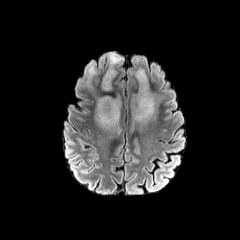
FLAIR MR.
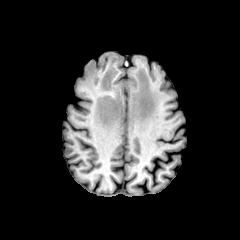
T1-weighted magnetic resonance.
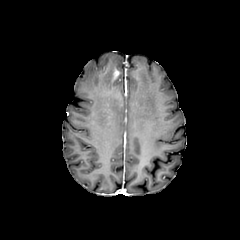
Post-contrast T1-weighted MR.
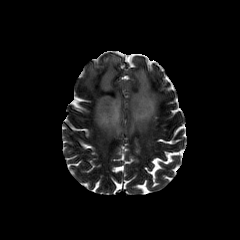
Same slice, T2-weighted magnetic resonance.
Axial view.
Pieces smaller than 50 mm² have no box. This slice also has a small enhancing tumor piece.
peritumoral_edema:
  - bbox=[96, 96, 121, 131]
  - bbox=[133, 68, 156, 129]
  - bbox=[102, 53, 122, 90]